Head; Axial slice
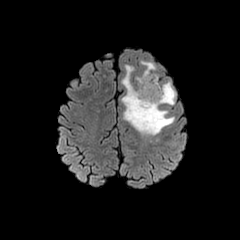
FLAIR MRI.
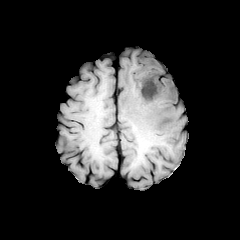
Same slice, T1-weighted MRI.
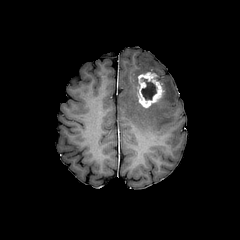
Same slice, post-contrast T1-weighted magnetic resonance.
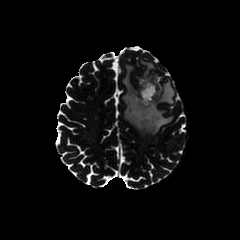
T2-weighted MR image of the same slice.
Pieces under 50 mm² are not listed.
enhancing tumor at x1=138, y1=72, x2=164, y2=108
peritumoral edema at x1=121, y1=64, x2=175, y2=135; x1=140, y1=59, x2=156, y2=73
necrotic tumor core at x1=141, y1=79, x2=156, y2=99